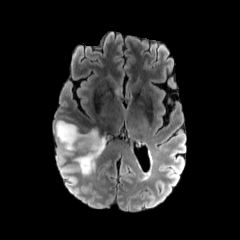
FLAIR MRI.
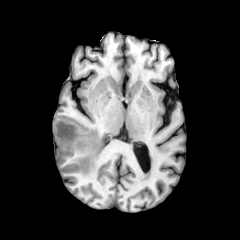
T1-weighted MR.
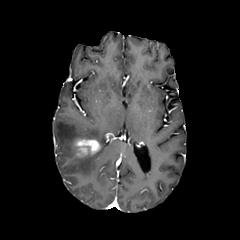
Same slice, post-contrast T1-weighted MRI.
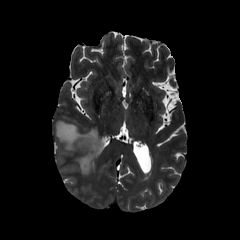
Same slice, T2-weighted magnetic resonance.
Axial plane.
enhancing_tumor:
  - (x1=75, y1=139, x2=100, y2=153)
peritumoral_edema:
  - (x1=55, y1=120, x2=105, y2=174)